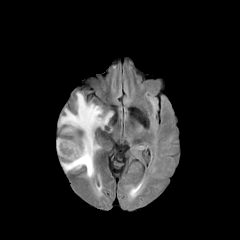
FLAIR MRI.
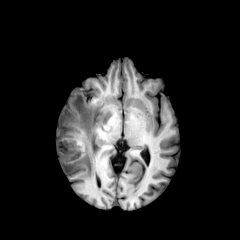
Same slice, T1-weighted magnetic resonance.
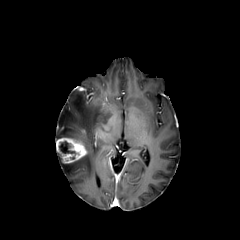
Post-contrast T1-weighted MR of the same slice.
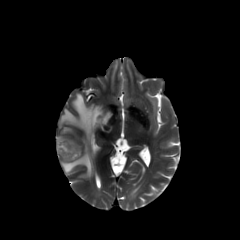
T2-weighted MRI of the same slice.
Head. Axial slice. 240x240.
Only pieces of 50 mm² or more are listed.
peritumoral edema = bbox=[58, 93, 110, 178]
enhancing tumor = bbox=[56, 137, 87, 163]
necrotic tumor core = bbox=[59, 141, 75, 154]; bbox=[65, 127, 81, 139]